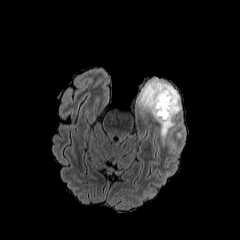
FLAIR MR.
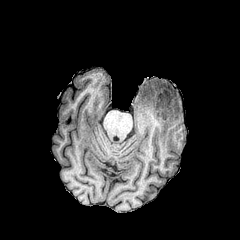
T1-weighted MR image.
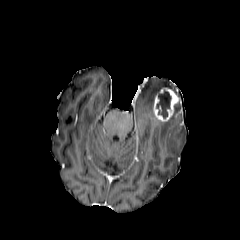
Post-contrast T1-weighted MRI.
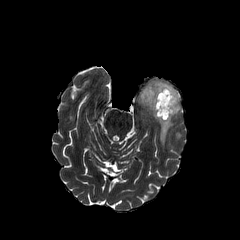
Same slice, T2-weighted MR.
Axial plane
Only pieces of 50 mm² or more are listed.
enhancing_tumor:
  - (left=153, top=88, right=180, bottom=122)
necrotic_tumor_core:
  - (left=157, top=91, right=171, bottom=118)
peritumoral_edema:
  - (left=158, top=102, right=182, bottom=143)
  - (left=139, top=80, right=180, bottom=114)